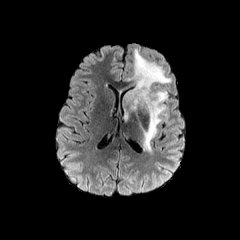
FLAIR MRI.
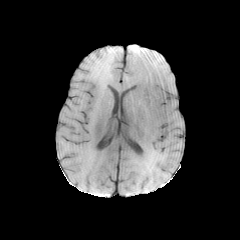
T1-weighted MR.
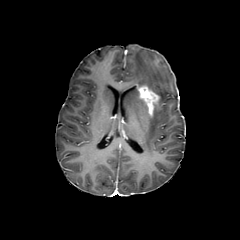
Same slice, post-contrast T1-weighted MR image.
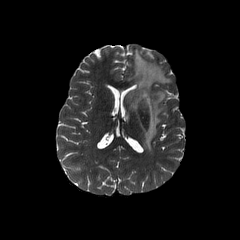
T2-weighted magnetic resonance.
240x240 px
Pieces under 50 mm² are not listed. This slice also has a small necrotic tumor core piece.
enhancing tumor: x1=137 y1=84 x2=160 y2=117 | peritumoral edema: x1=123 y1=50 x2=171 y2=153